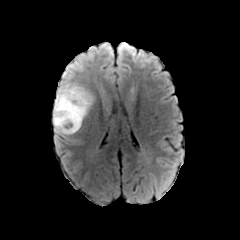
FLAIR MR.
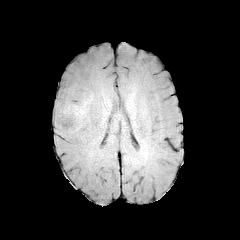
T1-weighted MR of the same slice.
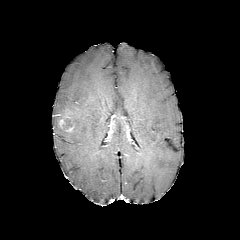
Post-contrast T1-weighted MRI.
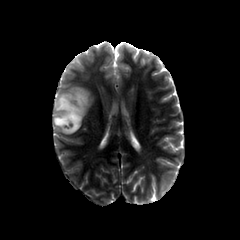
T2-weighted magnetic resonance of the same slice.
Head
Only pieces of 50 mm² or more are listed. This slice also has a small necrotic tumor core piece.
enhancing tumor: 58:111:74:132 | peritumoral edema: 52:82:94:135